FLAIR MR image.
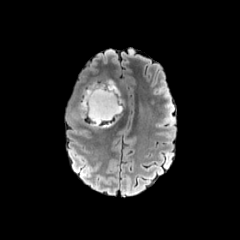
T1-weighted MR image.
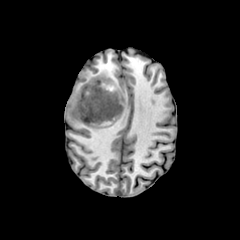
Post-contrast T1-weighted MRI.
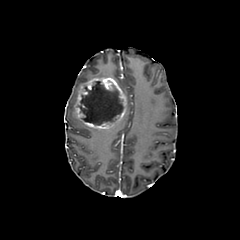
T2-weighted MRI.
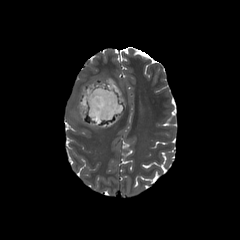
Brain; Axial view
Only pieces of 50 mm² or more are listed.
necrotic tumor core = (x1=78, y1=81, x2=123, y2=125)
enhancing tumor = (x1=73, y1=77, x2=126, y2=128)